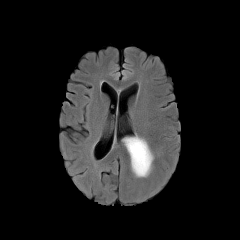
FLAIR MR image.
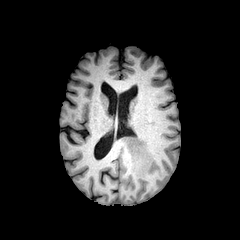
T1-weighted MRI.
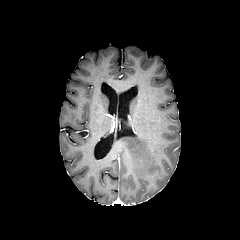
Post-contrast T1-weighted MR.
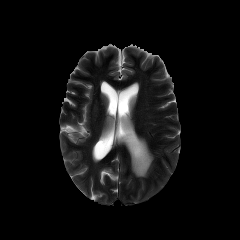
T2-weighted MR.
Axial view; Head
Findings:
* peritumoral edema: rect(123, 136, 153, 177)